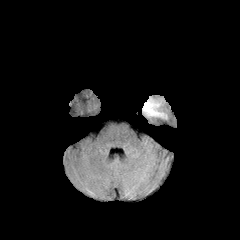
FLAIR MR image.
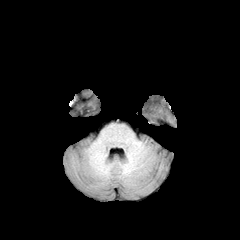
T1-weighted MR image.
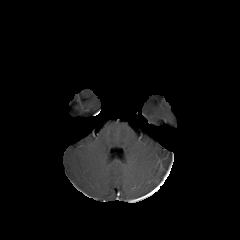
Post-contrast T1-weighted MRI.
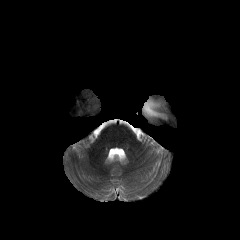
T2-weighted MR.
peritumoral edema = (142, 97, 166, 118)